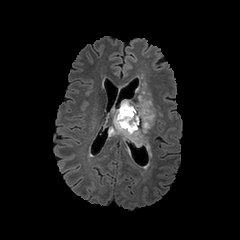
FLAIR MRI.
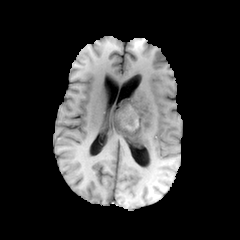
T1-weighted MRI.
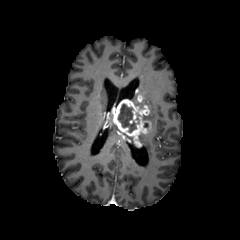
Post-contrast T1-weighted MR of the same slice.
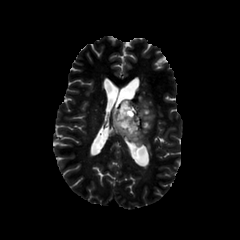
Same slice, T2-weighted MR.
Axial slice | Head
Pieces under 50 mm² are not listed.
Annotated regions:
• enhancing tumor: l=113, t=96, r=152, b=146
• necrotic tumor core: l=117, t=103, r=136, b=132
• peritumoral edema: l=126, t=76, r=153, b=121; l=140, t=134, r=151, b=156